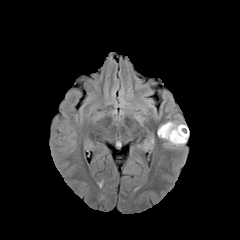
FLAIR MR image.
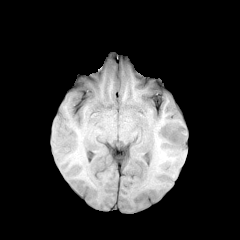
Same slice, T1-weighted magnetic resonance.
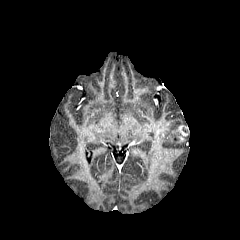
Post-contrast T1-weighted MR.
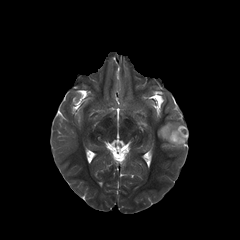
T2-weighted magnetic resonance of the same slice.
Head; 240x240 px
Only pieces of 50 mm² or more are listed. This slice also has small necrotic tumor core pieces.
The peritumoral edema is located at bbox=[158, 121, 188, 147]. The 2 largest enhancing tumor regions are bounded by bbox=[172, 125, 187, 136]; bbox=[158, 123, 169, 136].